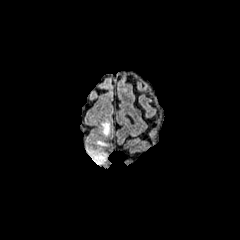
FLAIR MR image.
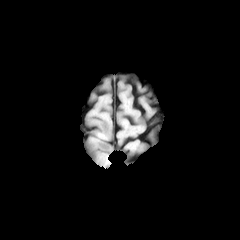
T1-weighted MR image of the same slice.
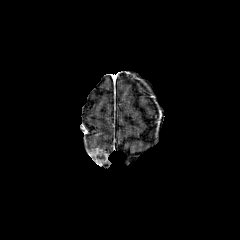
Same slice, post-contrast T1-weighted MR.
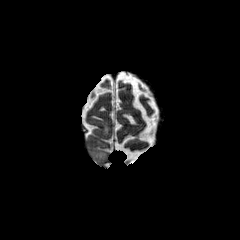
Same slice, T2-weighted magnetic resonance.
240x240 px
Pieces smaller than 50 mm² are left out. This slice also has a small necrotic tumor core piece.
The enhancing tumor is at (86,146,108,165). The largest peritumoral edema region lies within (102,120,109,135).